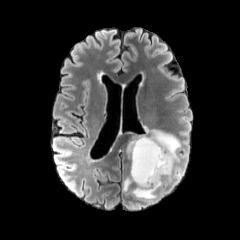
FLAIR magnetic resonance.
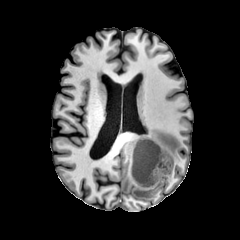
T1-weighted magnetic resonance of the same slice.
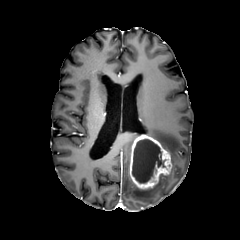
Post-contrast T1-weighted MR of the same slice.
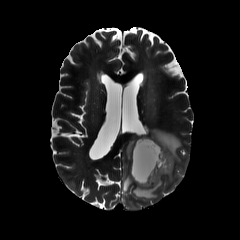
T2-weighted MR.
Axial slice; 240x240 px; Brain
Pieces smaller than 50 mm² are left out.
necrotic tumor core at <bbox>132, 139, 164, 183</bbox>
peritumoral edema at <bbox>123, 175, 132, 191</bbox>, <bbox>126, 136, 137, 158</bbox>, <bbox>132, 126, 181, 200</bbox>
enhancing tumor at <bbox>129, 134, 172, 189</bbox>